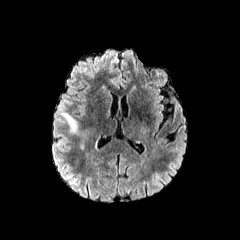
FLAIR MR.
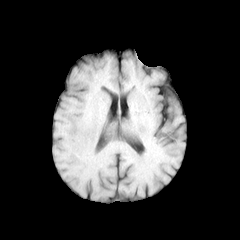
T1-weighted MR.
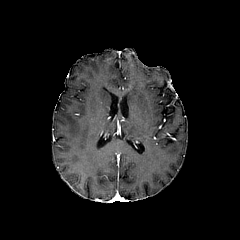
Post-contrast T1-weighted MRI of the same slice.
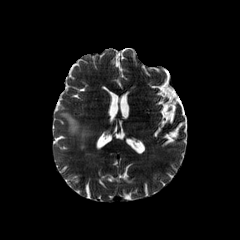
T2-weighted magnetic resonance of the same slice.
Axial view
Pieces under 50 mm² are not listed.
peritumoral edema — <bbox>61, 113, 79, 133</bbox>